FLAIR magnetic resonance.
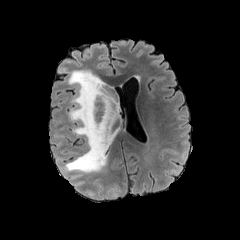
T1-weighted MRI.
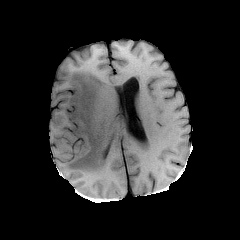
Post-contrast T1-weighted MRI.
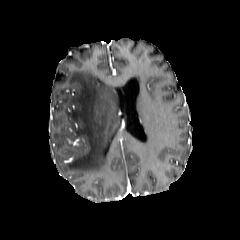
T2-weighted magnetic resonance.
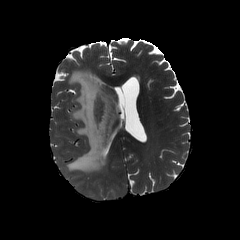
Image size 240x240
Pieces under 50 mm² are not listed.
Findings:
* peritumoral edema: 65, 70, 121, 173